Brain; Axial slice
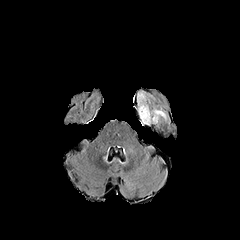
FLAIR MRI.
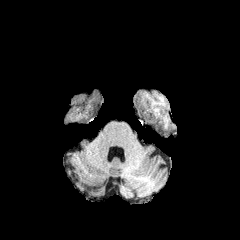
T1-weighted magnetic resonance of the same slice.
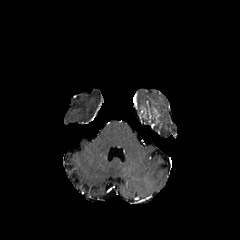
Same slice, post-contrast T1-weighted magnetic resonance.
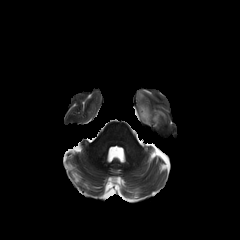
T2-weighted magnetic resonance.
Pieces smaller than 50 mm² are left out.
{"necrotic_tumor_core": ["region(141, 109, 149, 122)"], "peritumoral_edema": ["region(138, 91, 147, 112)", "region(157, 110, 166, 119)"], "enhancing_tumor": ["region(139, 107, 146, 118)", "region(153, 108, 159, 123)"]}